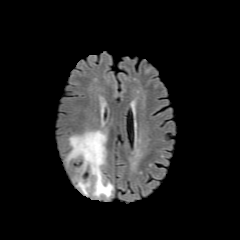
FLAIR MRI.
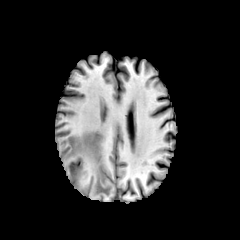
T1-weighted MR image.
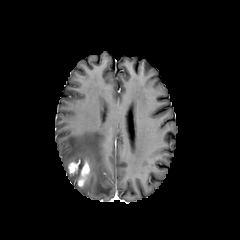
Same slice, post-contrast T1-weighted magnetic resonance.
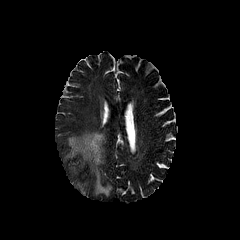
Same slice, T2-weighted MR.
Axial slice, Brain
<segmentation>
  <peritumoral_edema>box(77, 179, 90, 194); box(66, 130, 113, 197)</peritumoral_edema>
  <enhancing_tumor>box(68, 162, 78, 176); box(78, 159, 89, 186)</enhancing_tumor>
</segmentation>